Brain, Axial slice, Slice index 54
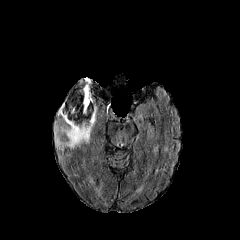
FLAIR MR image.
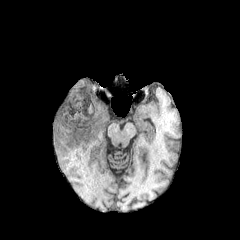
Same slice, T1-weighted MR image.
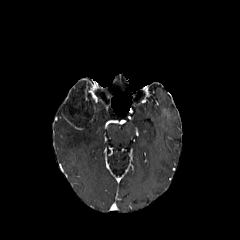
Post-contrast T1-weighted MR image.
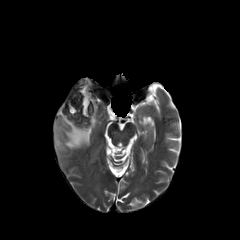
T2-weighted MR.
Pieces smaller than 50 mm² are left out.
enhancing tumor = 85, 85, 95, 111; 62, 113, 82, 129
necrotic tumor core = 62, 80, 94, 128
peritumoral edema = 54, 105, 96, 149